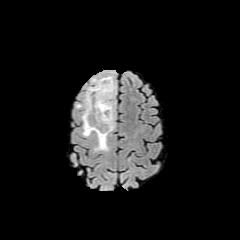
FLAIR MRI.
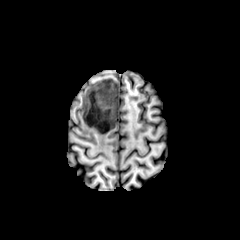
T1-weighted MR image.
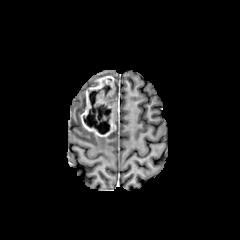
Post-contrast T1-weighted MRI.
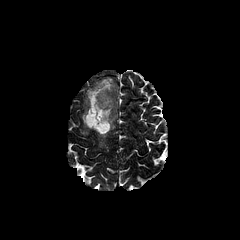
T2-weighted MR.
Axial plane.
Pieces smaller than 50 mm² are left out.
peritumoral edema: bounding box x1=76 y1=94 x2=85 y2=109, x1=82 y1=127 x2=92 y2=136, x1=94 y1=136 x2=108 y2=150
enhancing tumor: bounding box x1=80 y1=76 x2=118 y2=136
necrotic tumor core: bounding box x1=83 y1=90 x2=111 y2=134, x1=101 y1=85 x2=111 y2=96